FLAIR magnetic resonance.
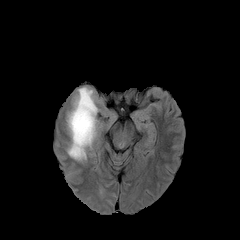
T1-weighted MR image.
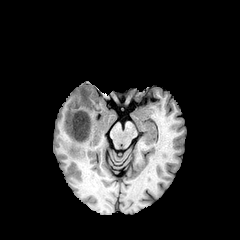
Post-contrast T1-weighted magnetic resonance.
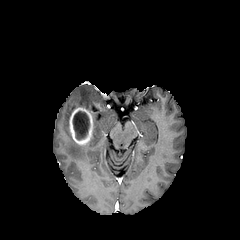
T2-weighted MR.
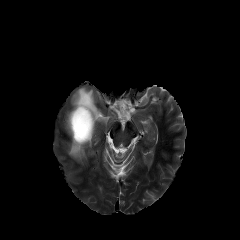
Head | 240x240
enhancing tumor — (left=69, top=107, right=93, bottom=145)
necrotic tumor core — (left=73, top=111, right=89, bottom=139)
peritumoral edema — (left=67, top=87, right=98, bottom=160)